FLAIR magnetic resonance.
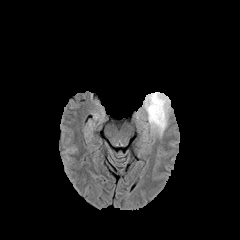
T1-weighted magnetic resonance.
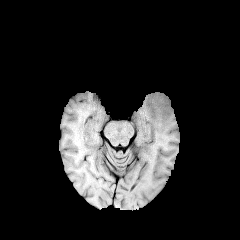
Post-contrast T1-weighted MR image.
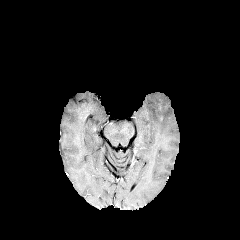
T2-weighted MR.
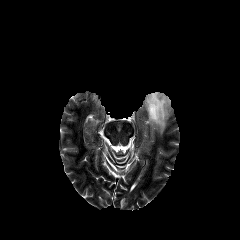
Brain
<segmentation>
  <peritumoral_edema>box(142, 92, 172, 136)</peritumoral_edema>
</segmentation>